Axial view.
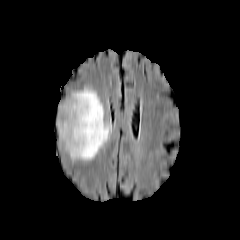
FLAIR MRI.
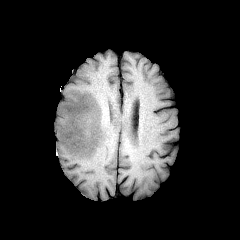
T1-weighted MR image.
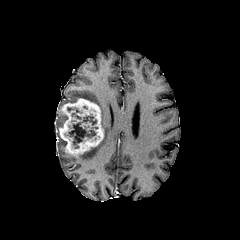
Post-contrast T1-weighted MRI of the same slice.
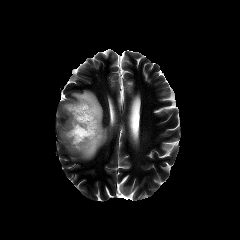
T2-weighted MR image of the same slice.
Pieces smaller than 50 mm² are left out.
The largest necrotic tumor core region is located at 69:116:96:148. The largest peritumoral edema region lies within 64:89:112:160. The enhancing tumor is bounded by 59:98:103:156.